FLAIR MR image.
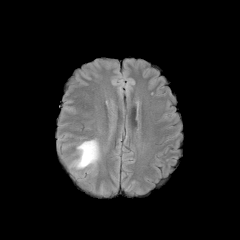
T1-weighted MRI.
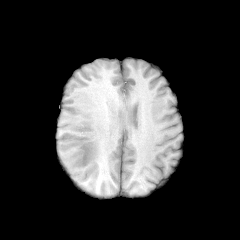
Post-contrast T1-weighted MRI.
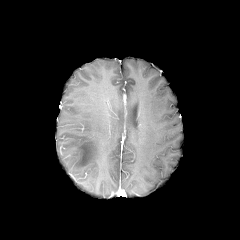
T2-weighted MRI.
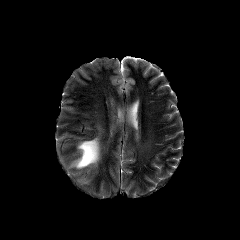
Axial plane; 240x240
peritumoral edema: (71, 139, 99, 168)